Slice index 132 | 240x240 px | Axial plane
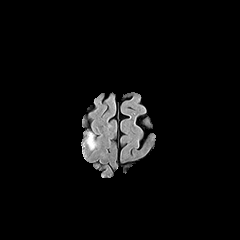
FLAIR magnetic resonance.
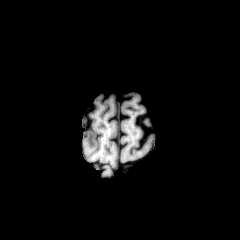
T1-weighted MR image.
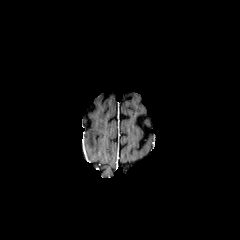
Same slice, post-contrast T1-weighted MRI.
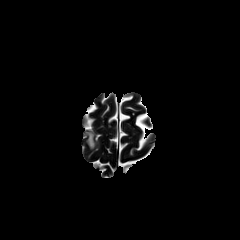
T2-weighted magnetic resonance.
Findings:
* peritumoral edema: 86,132,95,149